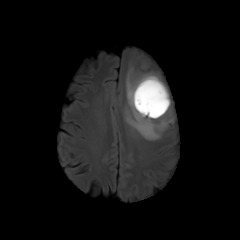
FLAIR MR.
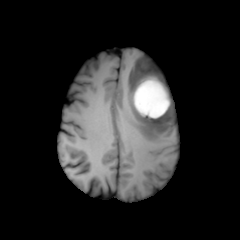
T1-weighted magnetic resonance of the same slice.
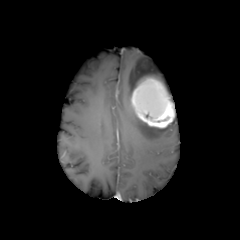
Post-contrast T1-weighted MRI.
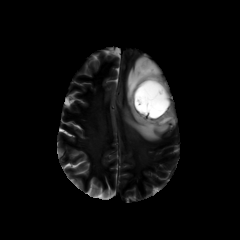
Same slice, T2-weighted MR.
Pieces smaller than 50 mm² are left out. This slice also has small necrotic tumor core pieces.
enhancing tumor: box=[131, 78, 174, 128]
peritumoral edema: box=[125, 57, 170, 140]